Head.
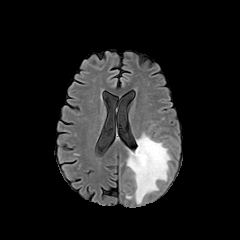
FLAIR magnetic resonance.
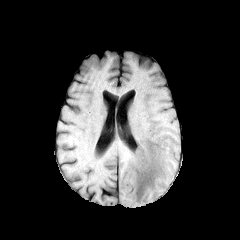
T1-weighted magnetic resonance.
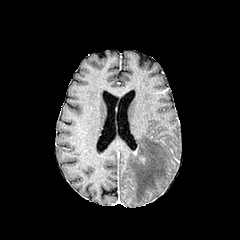
Same slice, post-contrast T1-weighted MR image.
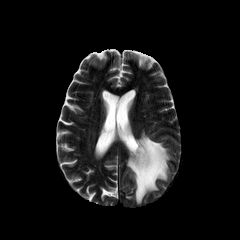
Same slice, T2-weighted MR image.
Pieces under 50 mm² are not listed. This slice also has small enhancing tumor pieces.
<segmentation>
  <peritumoral_edema>l=127, t=133, r=170, b=204</peritumoral_edema>
</segmentation>